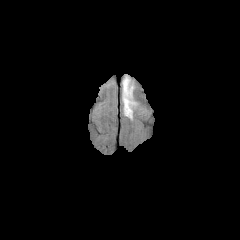
FLAIR MRI.
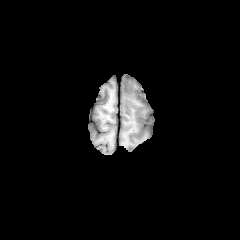
T1-weighted magnetic resonance of the same slice.
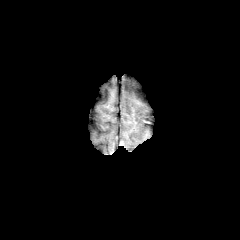
Post-contrast T1-weighted MRI of the same slice.
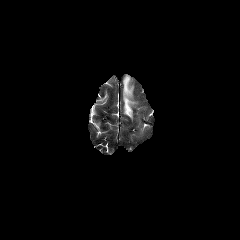
T2-weighted magnetic resonance.
240x240 px. Brain.
{
  "peritumoral_edema": [
    "(x1=122, y1=75, x2=136, y2=118)"
  ]
}